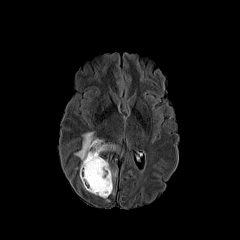
FLAIR MR image.
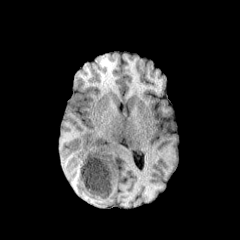
T1-weighted MR.
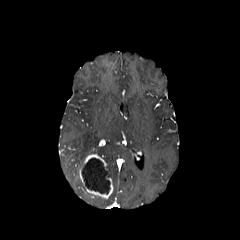
Post-contrast T1-weighted MR image.
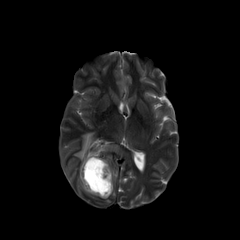
T2-weighted MR image.
Image size 240x240, Brain, Axial view
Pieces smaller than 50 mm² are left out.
enhancing tumor — [79, 153, 113, 198]
necrotic tumor core — [82, 158, 110, 193]
peritumoral edema — [105, 160, 116, 179], [74, 132, 117, 164]